FLAIR magnetic resonance.
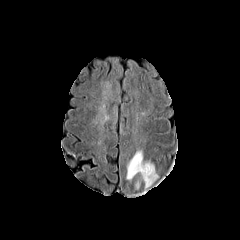
T1-weighted magnetic resonance.
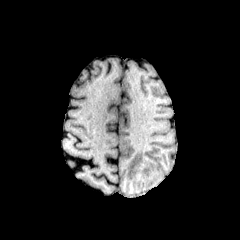
Post-contrast T1-weighted MR image.
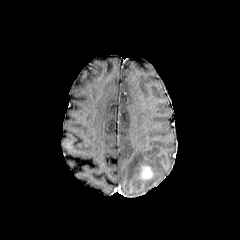
T2-weighted MR.
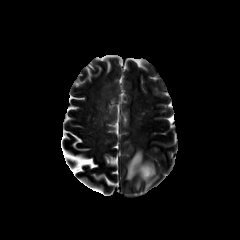
Head; Axial view
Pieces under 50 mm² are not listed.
{"enhancing_tumor": ["(140, 165, 153, 180)"], "peritumoral_edema": ["(126, 150, 157, 191)"]}